FLAIR MRI.
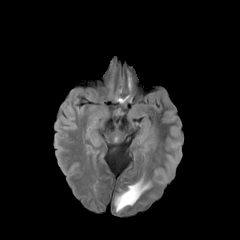
T1-weighted MR.
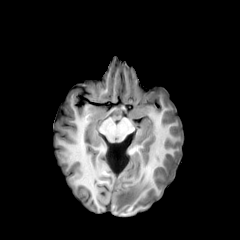
Post-contrast T1-weighted MRI.
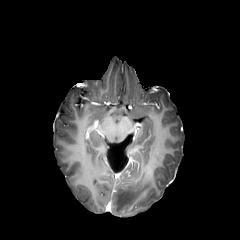
T2-weighted MRI.
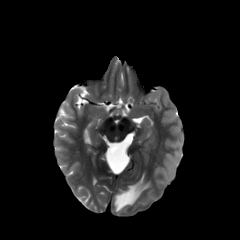
Annotated regions:
• peritumoral edema: left=115, top=174, right=151, bottom=211